240x240; Brain; Slice 29/155; Axial view
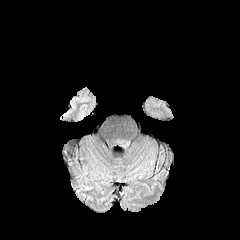
FLAIR MRI.
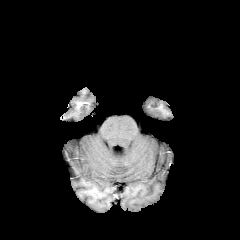
T1-weighted MRI.
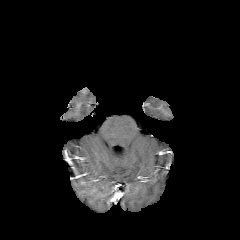
Same slice, post-contrast T1-weighted MR image.
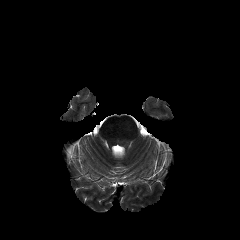
T2-weighted MRI of the same slice.
peritumoral edema at [x1=116, y1=138, x2=130, y2=147]